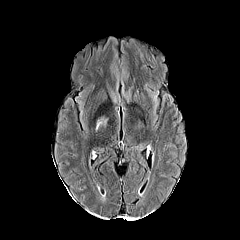
FLAIR MR.
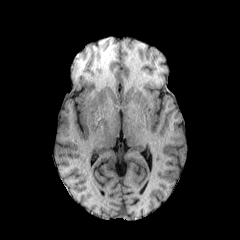
T1-weighted magnetic resonance of the same slice.
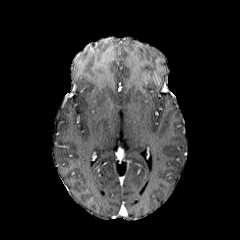
Same slice, post-contrast T1-weighted magnetic resonance.
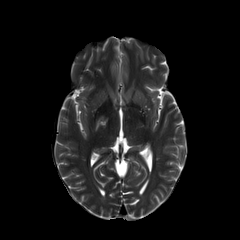
T2-weighted magnetic resonance of the same slice.
Head
Annotated regions:
* peritumoral edema: box(96, 120, 105, 129)